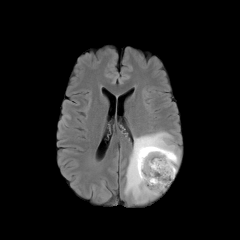
FLAIR magnetic resonance.
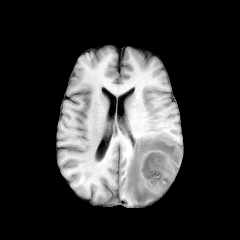
T1-weighted MRI.
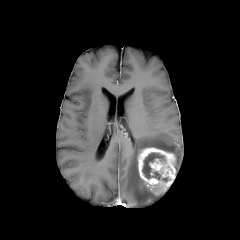
Post-contrast T1-weighted MRI.
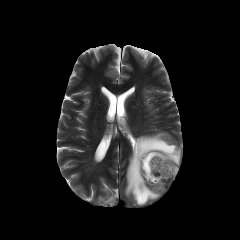
T2-weighted magnetic resonance.
240x240 px
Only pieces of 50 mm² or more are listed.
necrotic tumor core = region(142, 153, 164, 179)
peritumoral edema = region(124, 131, 183, 206)
enhancing tumor = region(137, 147, 176, 194)